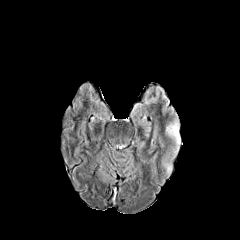
FLAIR MR.
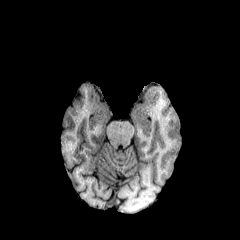
T1-weighted MRI.
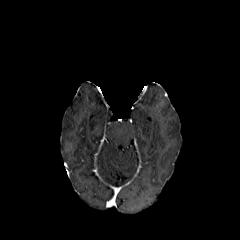
Same slice, post-contrast T1-weighted MRI.
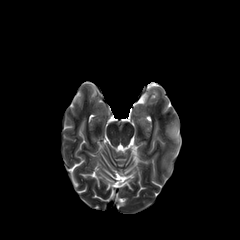
T2-weighted MR image.
Axial plane
2 peritumoral edema regions appear at (left=165, top=163, right=171, bottom=172), (left=166, top=122, right=180, bottom=144).